240x240 px; Slice 39/155
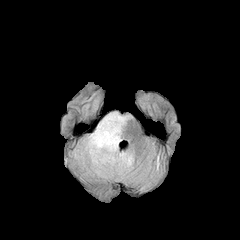
FLAIR magnetic resonance.
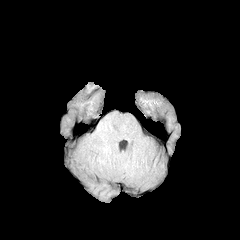
Same slice, T1-weighted MRI.
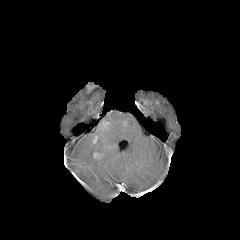
Same slice, post-contrast T1-weighted MR.
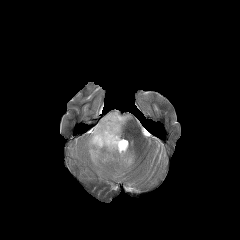
T2-weighted MR.
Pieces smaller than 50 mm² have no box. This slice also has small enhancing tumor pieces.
The largest peritumoral edema region is located at (x1=73, y1=111, x2=134, y2=178).